FLAIR MR.
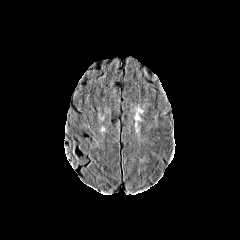
T1-weighted MRI.
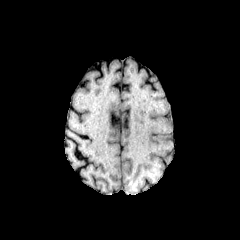
Post-contrast T1-weighted magnetic resonance.
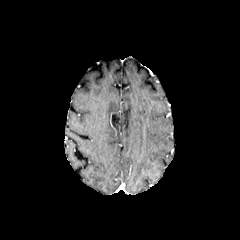
T2-weighted MR image.
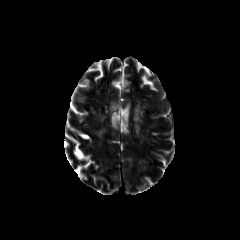
Head
{"peritumoral_edema": ["<box>135,108,142,119</box>"]}